FLAIR MR image.
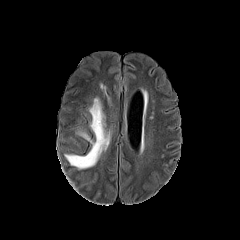
T1-weighted MRI.
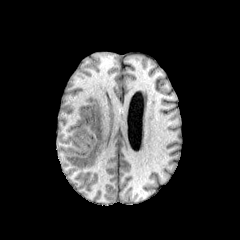
Post-contrast T1-weighted MR.
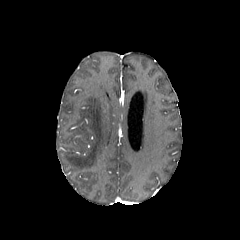
T2-weighted MR image.
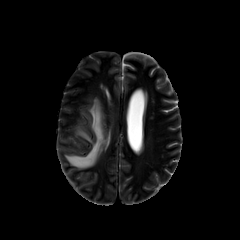
240x240 | Head | Axial view
Findings:
* peritumoral edema: (63,95,111,169), (99,81,111,106)